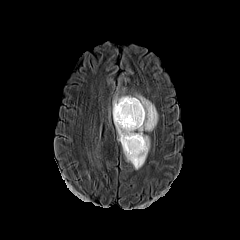
FLAIR MR image.
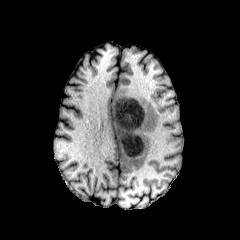
T1-weighted MR.
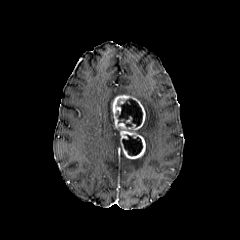
Post-contrast T1-weighted magnetic resonance of the same slice.
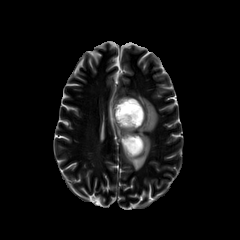
T2-weighted magnetic resonance.
Axial slice
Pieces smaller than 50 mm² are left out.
- necrotic tumor core: {"x1": 116, "y1": 99, "x2": 142, "y2": 126}, {"x1": 122, "y1": 134, "x2": 142, "y2": 155}
- peritumoral edema: {"x1": 126, "y1": 93, "x2": 158, "y2": 169}
- enhancing tumor: {"x1": 112, "y1": 95, "x2": 145, "y2": 159}